Head, Slice index 21, Axial plane
FLAIR MR image.
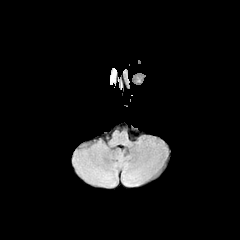
T1-weighted MR.
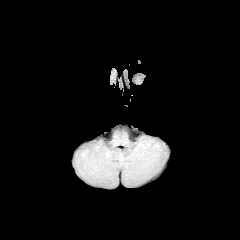
Post-contrast T1-weighted MRI.
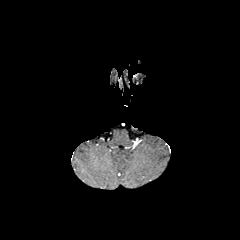
T2-weighted MRI.
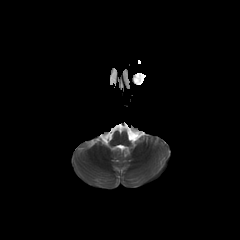
<segmentation>
  <peritumoral_edema>110:68:116:84</peritumoral_edema>
</segmentation>